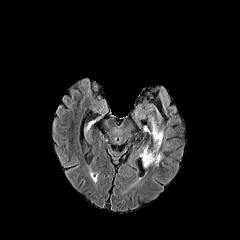
FLAIR magnetic resonance.
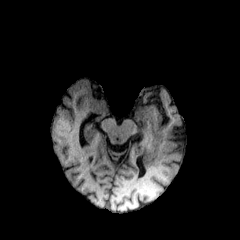
T1-weighted magnetic resonance.
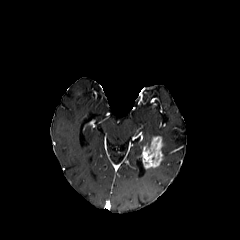
Same slice, post-contrast T1-weighted MR.
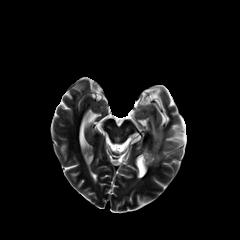
T2-weighted MR of the same slice.
Brain.
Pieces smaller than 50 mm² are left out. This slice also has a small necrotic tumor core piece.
enhancing tumor: x1=143, y1=136, x2=163, y2=168
peritumoral edema: x1=144, y1=118, x2=163, y2=140